Slice 85/155. Axial view. Head.
FLAIR MRI.
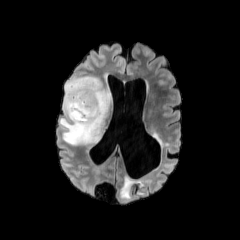
T1-weighted magnetic resonance.
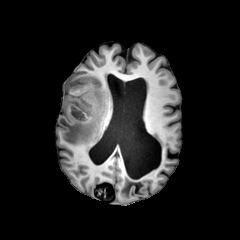
Post-contrast T1-weighted MR image.
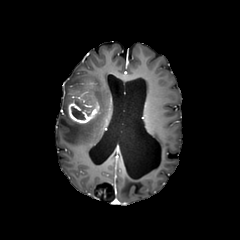
T2-weighted MRI.
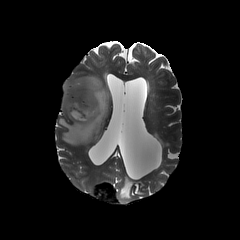
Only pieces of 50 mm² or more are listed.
The peritumoral edema is located at left=59, top=76, right=111, bottom=145. The enhancing tumor is at left=68, top=92, right=99, bottom=123. The 2 largest necrotic tumor core regions are bounded by left=71, top=106, right=85, bottom=119; left=75, top=100, right=89, bottom=110.